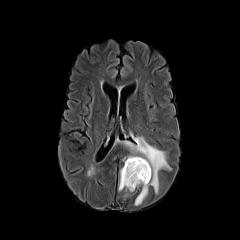
FLAIR MRI.
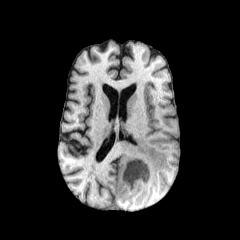
Same slice, T1-weighted MRI.
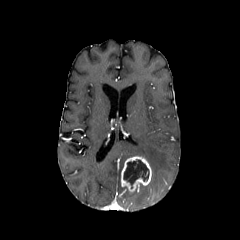
Post-contrast T1-weighted MR image.
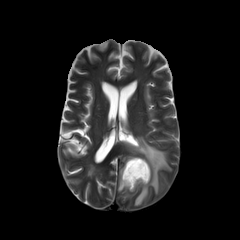
Same slice, T2-weighted MR image.
Head. Axial view.
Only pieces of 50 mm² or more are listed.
The necrotic tumor core is at 123, 160, 149, 188. The 2 largest peritumoral edema regions are located at 123, 136, 171, 205; 118, 169, 126, 191. The largest enhancing tumor region appears at 121, 156, 151, 192.